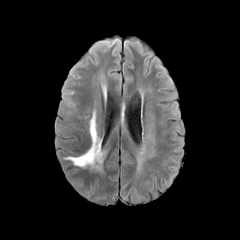
FLAIR MR.
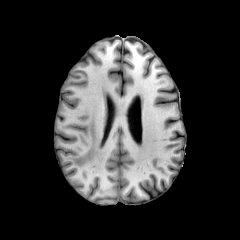
T1-weighted MR image of the same slice.
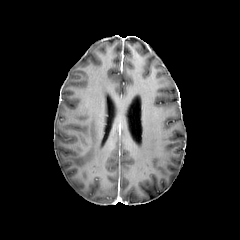
Post-contrast T1-weighted MR image.
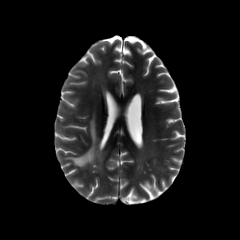
T2-weighted MR image.
Axial view.
peritumoral edema — [67,113,103,170]